FLAIR magnetic resonance.
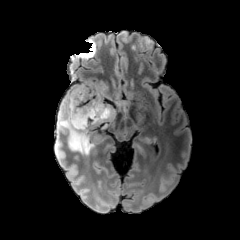
T1-weighted MR.
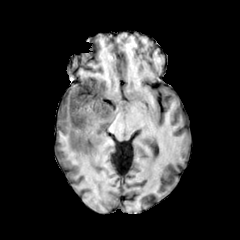
Post-contrast T1-weighted MR.
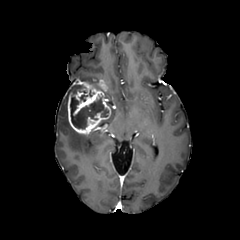
T2-weighted MR.
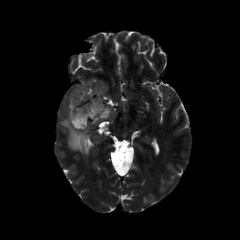
Brain, Axial slice
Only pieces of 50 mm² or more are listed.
necrotic tumor core: [70,96,108,128] | enhancing tumor: [67,79,111,135] | peritumoral edema: [58,84,92,154]